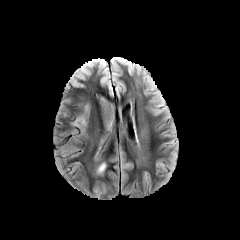
FLAIR MR.
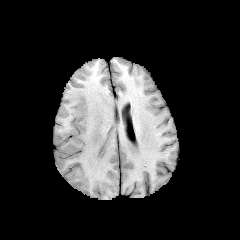
T1-weighted MR image of the same slice.
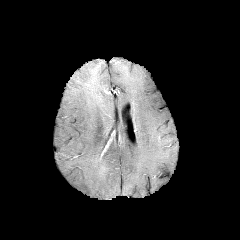
Same slice, post-contrast T1-weighted magnetic resonance.
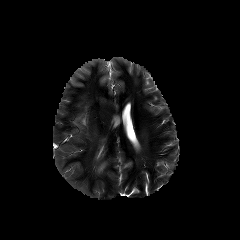
Same slice, T2-weighted MRI.
Brain. Axial plane.
peritumoral edema: l=97, t=163, r=105, b=173; l=75, t=106, r=87, b=128